Axial view, Slice 83/155
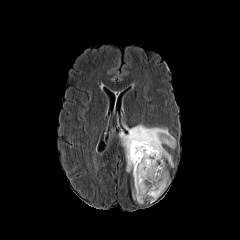
FLAIR MRI.
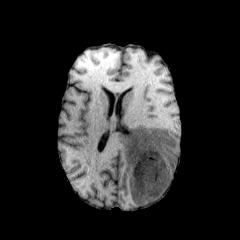
T1-weighted MRI.
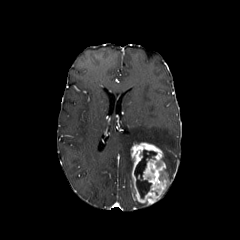
Same slice, post-contrast T1-weighted MR.
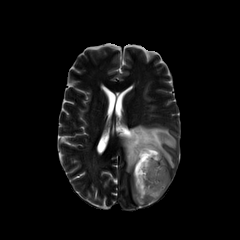
T2-weighted magnetic resonance.
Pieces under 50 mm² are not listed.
necrotic_tumor_core:
  - bbox(134, 150, 156, 197)
enhancing_tumor:
  - bbox(130, 142, 170, 204)
peritumoral_edema:
  - bbox(120, 124, 175, 172)